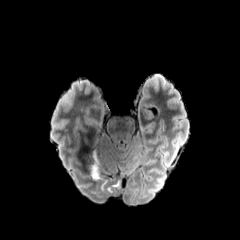
FLAIR magnetic resonance.
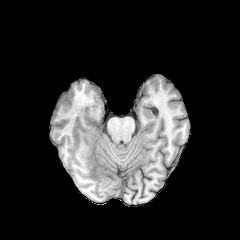
T1-weighted magnetic resonance.
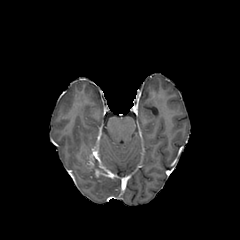
Post-contrast T1-weighted MR of the same slice.
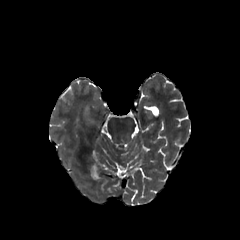
T2-weighted MR image of the same slice.
Head | Axial slice | 240x240 px
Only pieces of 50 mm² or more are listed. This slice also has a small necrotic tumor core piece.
<segmentation>
  <peritumoral_edema>[x1=90, y1=167, x2=103, y2=179]</peritumoral_edema>
  <enhancing_tumor>[x1=89, y1=145, x2=111, y2=177]</enhancing_tumor>
</segmentation>